Head. Axial slice.
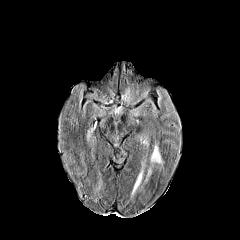
FLAIR magnetic resonance.
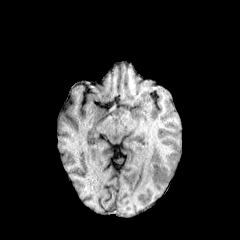
T1-weighted MR of the same slice.
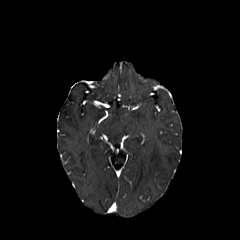
Same slice, post-contrast T1-weighted MRI.
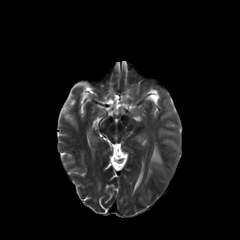
Same slice, T2-weighted MRI.
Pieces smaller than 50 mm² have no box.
<segmentation>
  <peritumoral_edema>[151, 145, 161, 163], [132, 169, 143, 193]</peritumoral_edema>
</segmentation>